Image size 240x240
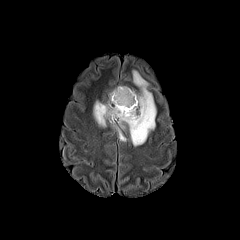
FLAIR MR.
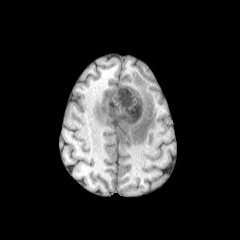
T1-weighted magnetic resonance.
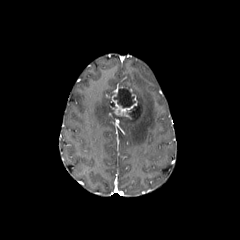
Post-contrast T1-weighted MRI.
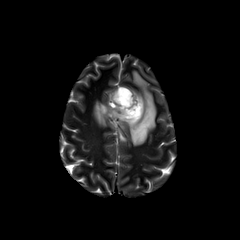
Same slice, T2-weighted MR.
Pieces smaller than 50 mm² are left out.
The 2 largest necrotic tumor core regions appear at 128, 105, 137, 116; 114, 87, 135, 108. The 3 largest peritumoral edema regions appear at 118, 129, 126, 141; 93, 101, 114, 127; 119, 70, 156, 145. The largest enhancing tumor region lies within 111, 87, 137, 118.